FLAIR MR.
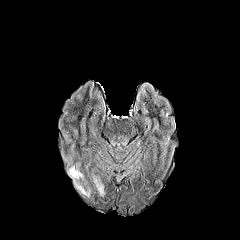
T1-weighted MR image.
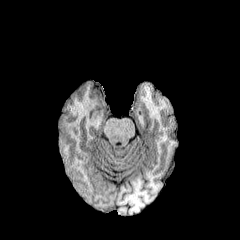
Post-contrast T1-weighted MR image.
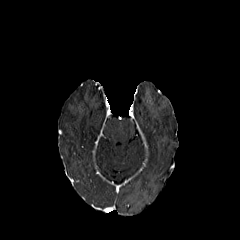
T2-weighted MRI.
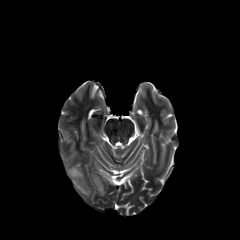
Head, Axial plane
peritumoral edema: bounding box region(94, 178, 104, 195); region(76, 183, 89, 196); region(69, 166, 82, 178)